Brain | Axial slice | Image size 240x240
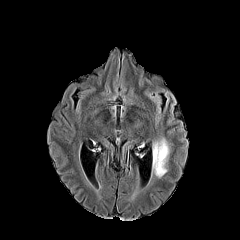
FLAIR MRI.
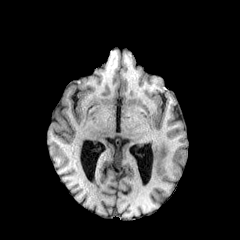
T1-weighted MRI of the same slice.
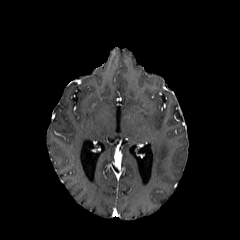
Post-contrast T1-weighted MR.
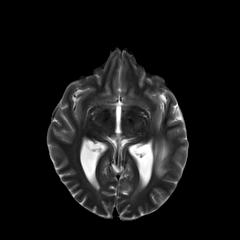
Same slice, T2-weighted MR.
{"peritumoral_edema": ["152 137 169 178"]}